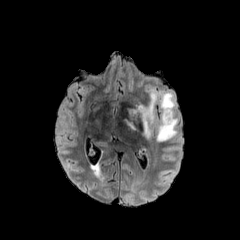
FLAIR magnetic resonance.
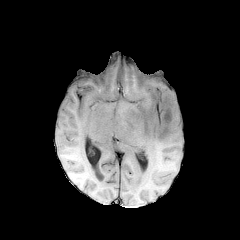
T1-weighted MR image of the same slice.
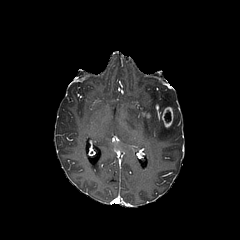
Post-contrast T1-weighted magnetic resonance.
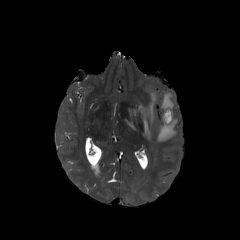
Same slice, T2-weighted MRI.
Brain, Image size 240x240
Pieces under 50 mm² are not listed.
necrotic tumor core = x1=164, y1=110, x2=171, y2=122
peritumoral edema = x1=157, y1=92, x2=178, y2=141; x1=124, y1=119, x2=136, y2=130; x1=127, y1=89, x2=158, y2=138
enhancing tumor = x1=161, y1=106, x2=173, y2=128